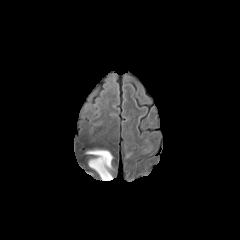
FLAIR MR.
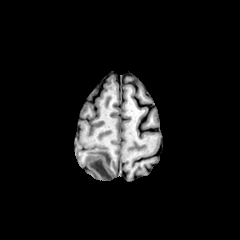
T1-weighted MR.
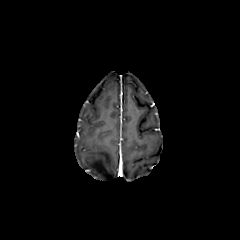
Post-contrast T1-weighted magnetic resonance of the same slice.
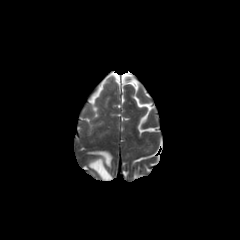
T2-weighted MR image.
Image size 240x240
The peritumoral edema is located at 87:150:112:180.